FLAIR MRI.
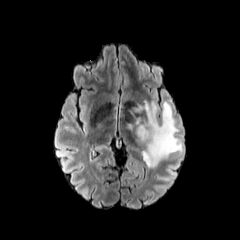
T1-weighted magnetic resonance.
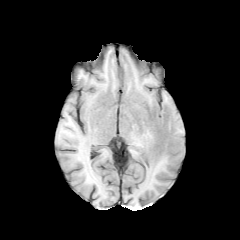
Post-contrast T1-weighted magnetic resonance.
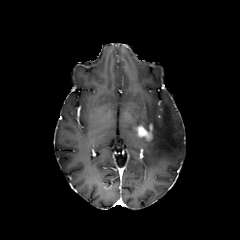
T2-weighted MRI.
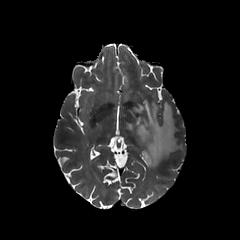
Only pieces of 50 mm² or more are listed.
enhancing tumor: 136:124:153:142 | peritumoral edema: 127:100:182:168